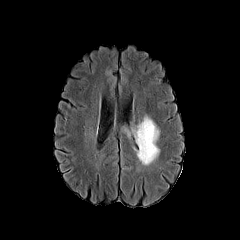
FLAIR MR.
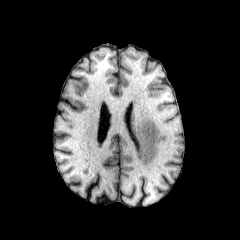
Same slice, T1-weighted MR image.
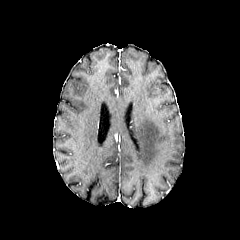
Post-contrast T1-weighted MR.
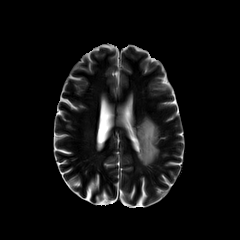
T2-weighted magnetic resonance.
Axial plane
{
  "peritumoral_edema": [
    "[134,116,159,165]"
  ]
}